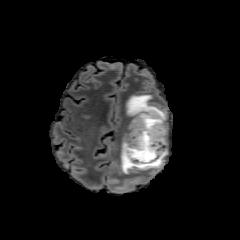
FLAIR MRI.
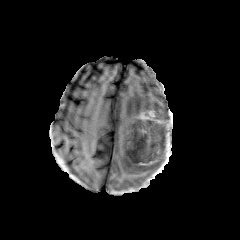
Same slice, T1-weighted MR image.
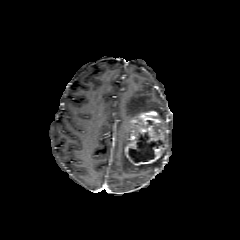
Post-contrast T1-weighted MR image.
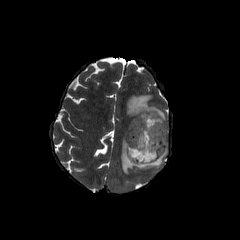
T2-weighted MRI.
Image size 240x240; Head
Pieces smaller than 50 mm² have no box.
peritumoral edema: 120, 137, 163, 174; 126, 94, 166, 122 | enhancing tumor: 124, 110, 168, 166 | necrotic tumor core: 128, 132, 164, 162